Slice 71/155, Brain, Axial plane
FLAIR MR.
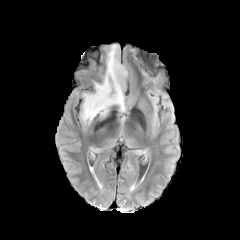
T1-weighted MR.
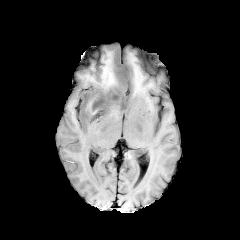
Post-contrast T1-weighted MR image.
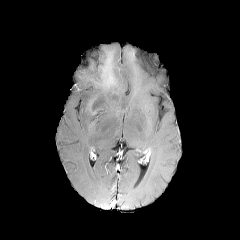
T2-weighted MRI.
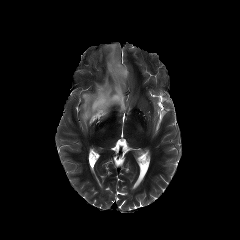
peritumoral edema — box=[80, 42, 128, 132]